Axial view, Head
FLAIR MRI.
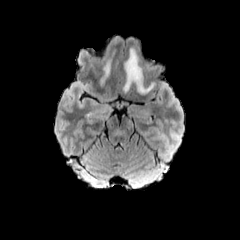
T1-weighted MR.
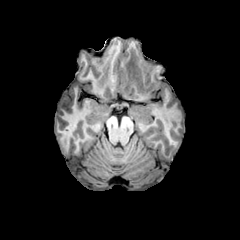
Post-contrast T1-weighted magnetic resonance.
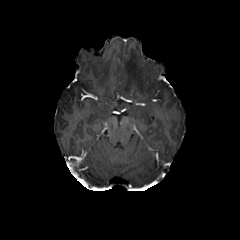
T2-weighted MR.
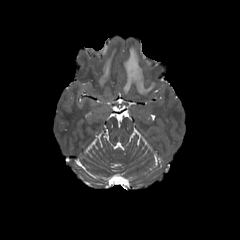
peritumoral edema at 100,59,110,84; 123,48,154,94